FLAIR MRI.
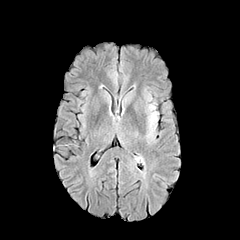
T1-weighted MR image.
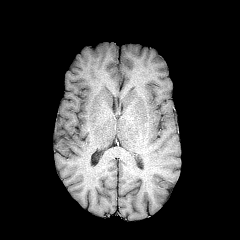
Post-contrast T1-weighted MR.
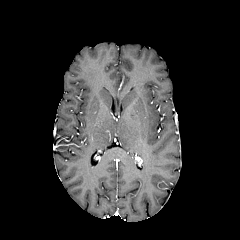
T2-weighted MR image.
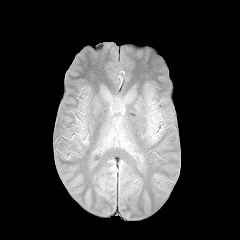
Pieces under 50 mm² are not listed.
{
  "peritumoral_edema": [
    "[150, 113, 155, 122]"
  ]
}